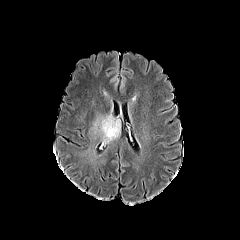
FLAIR MR image.
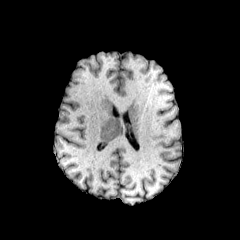
T1-weighted magnetic resonance.
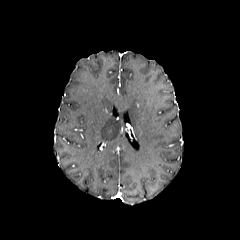
Post-contrast T1-weighted MR.
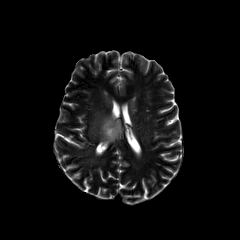
T2-weighted MR image.
Brain | Axial view
peritumoral edema = bbox=[92, 115, 120, 143]